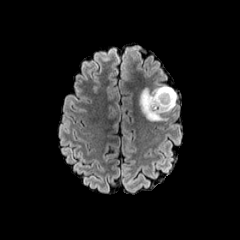
FLAIR MR image.
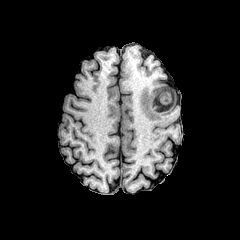
T1-weighted MR.
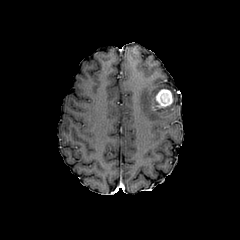
Post-contrast T1-weighted MR.
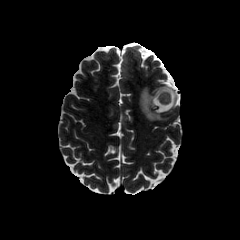
Same slice, T2-weighted MRI.
Brain; 240x240 px; Axial plane
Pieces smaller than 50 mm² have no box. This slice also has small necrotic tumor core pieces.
enhancing tumor — x1=150, y1=89, x2=175, y2=114
peritumoral edema — x1=139, y1=85, x2=177, y2=122